FLAIR MR image.
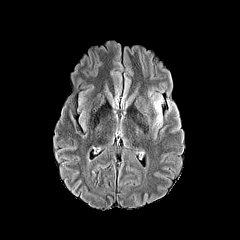
T1-weighted magnetic resonance.
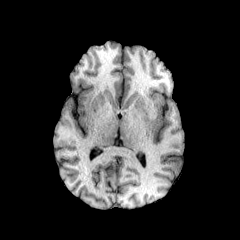
Post-contrast T1-weighted MRI.
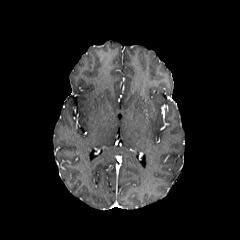
T2-weighted MR image.
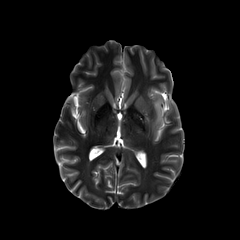
Brain, 240x240, Axial slice
peritumoral_edema:
  - (152, 96, 162, 125)